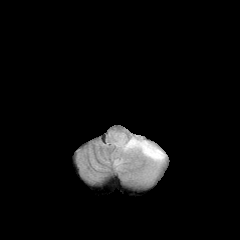
FLAIR MR.
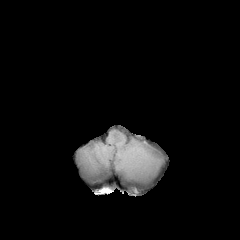
T1-weighted MR.
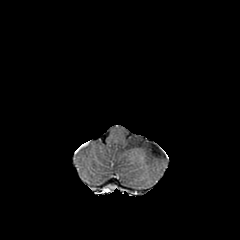
Post-contrast T1-weighted MR of the same slice.
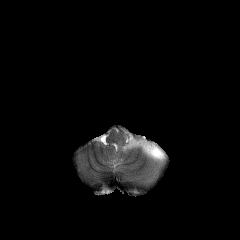
Same slice, T2-weighted magnetic resonance.
Head; Axial plane; 240x240 px
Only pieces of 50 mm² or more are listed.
The largest peritumoral edema region is bounded by box=[112, 133, 166, 180].